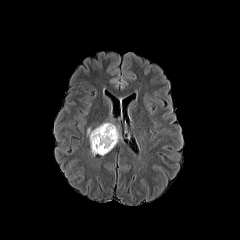
FLAIR magnetic resonance.
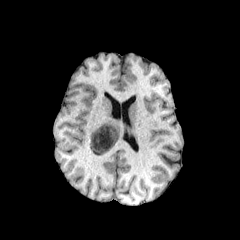
T1-weighted MRI.
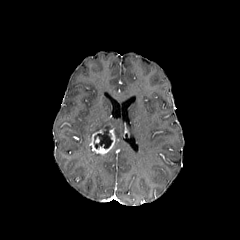
Post-contrast T1-weighted MR.
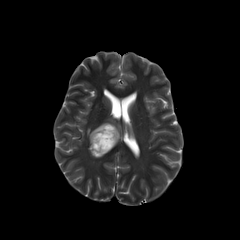
T2-weighted MRI of the same slice.
Axial slice
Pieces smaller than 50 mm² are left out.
peritumoral edema: <box>87,122,120,143</box>
necrotic tumor core: <box>94,127,112,148</box>
enhancing tumor: <box>90,125,117,154</box>